FLAIR MRI.
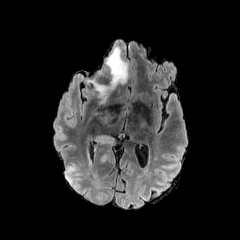
T1-weighted MR image.
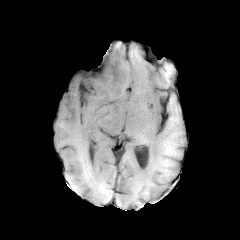
Post-contrast T1-weighted magnetic resonance.
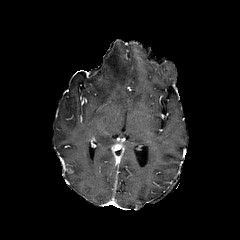
T2-weighted MR.
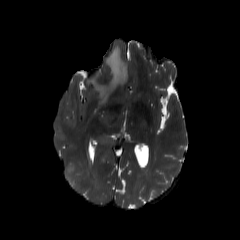
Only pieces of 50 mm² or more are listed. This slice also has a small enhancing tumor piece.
peritumoral edema at 67,163,74,171; 88,45,128,103